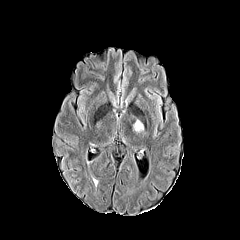
FLAIR MR image.
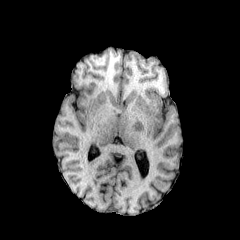
Same slice, T1-weighted magnetic resonance.
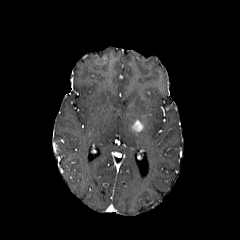
Post-contrast T1-weighted magnetic resonance.
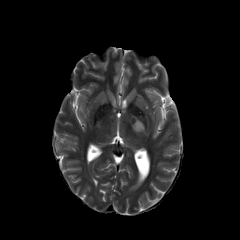
T2-weighted magnetic resonance of the same slice.
Image size 240x240, Brain
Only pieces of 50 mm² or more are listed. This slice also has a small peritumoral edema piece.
The enhancing tumor is at l=132, t=120, r=143, b=131.